Image width 240 mm, 1.00 mm slice spacing | Axial view | Image size 240x240
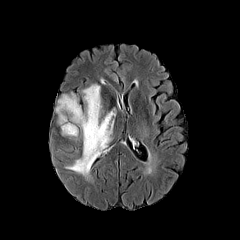
FLAIR magnetic resonance.
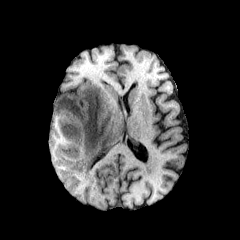
T1-weighted magnetic resonance.
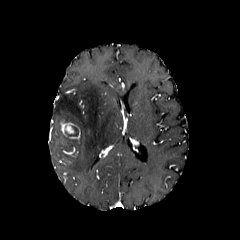
Same slice, post-contrast T1-weighted MR.
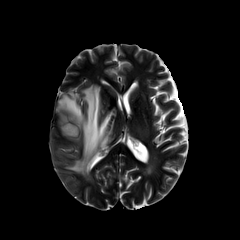
T2-weighted MR.
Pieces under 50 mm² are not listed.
Segmented structures:
• peritumoral edema: x1=55, y1=84, x2=115, y2=177
• enhancing tumor: x1=60, y1=121, x2=74, y2=133